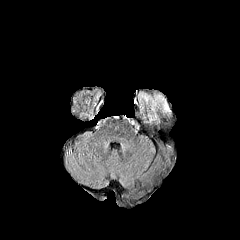
FLAIR MR image.
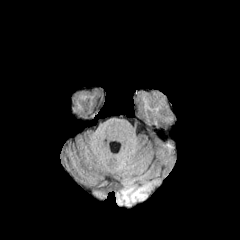
Same slice, T1-weighted magnetic resonance.
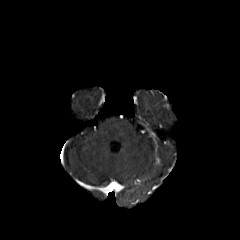
Post-contrast T1-weighted magnetic resonance.
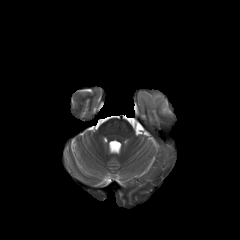
Same slice, T2-weighted MRI.
Brain. 240x240.
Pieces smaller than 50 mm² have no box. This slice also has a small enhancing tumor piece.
Segmented structures:
* peritumoral edema: (139, 93, 170, 120)